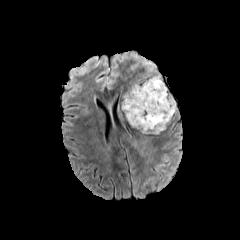
FLAIR magnetic resonance.
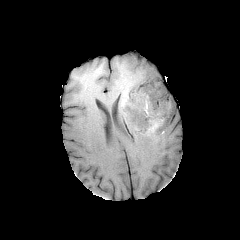
T1-weighted magnetic resonance.
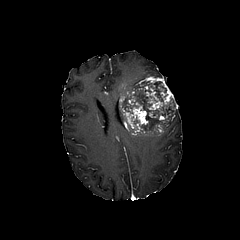
Post-contrast T1-weighted magnetic resonance of the same slice.
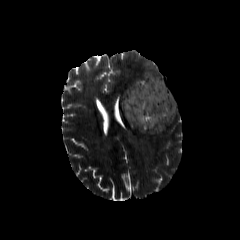
T2-weighted MRI.
Axial plane
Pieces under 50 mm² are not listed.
Annotated regions:
- enhancing tumor: rect(129, 76, 178, 126); rect(118, 91, 162, 136)
- peritumoral edema: rect(142, 59, 160, 77)
- necrotic tumor core: rect(128, 89, 174, 132); rect(122, 96, 137, 111); rect(154, 81, 162, 98)